Axial view. Image width 240 mm. Slice 92/155. Head.
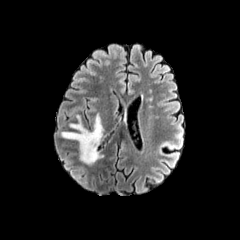
FLAIR MRI.
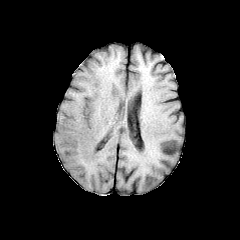
T1-weighted MRI.
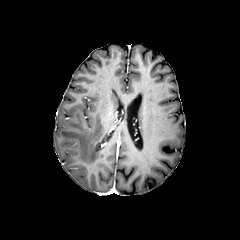
Post-contrast T1-weighted magnetic resonance.
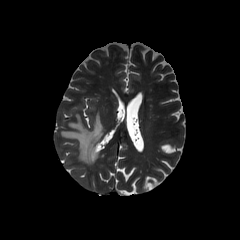
T2-weighted MR.
Annotated regions:
- peritumoral edema: l=61, t=114, r=103, b=164